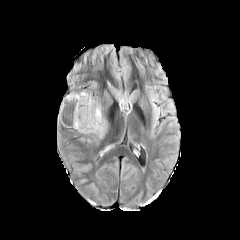
FLAIR MRI.
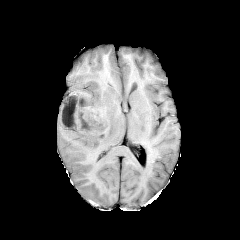
T1-weighted MR image of the same slice.
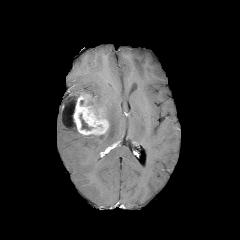
Post-contrast T1-weighted magnetic resonance.
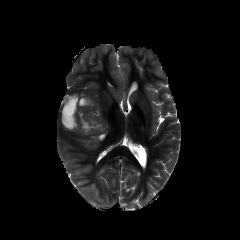
T2-weighted magnetic resonance.
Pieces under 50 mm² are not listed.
The 2 largest peritumoral edema regions appear at 84 134 104 139, 88 92 110 116. The enhancing tumor is bounded by 59 94 108 135. The 2 largest necrotic tumor core regions appear at 79 114 92 130, 61 100 76 127.